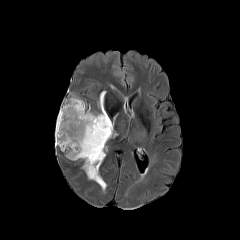
FLAIR magnetic resonance.
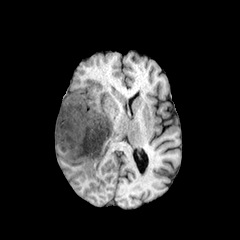
T1-weighted MR.
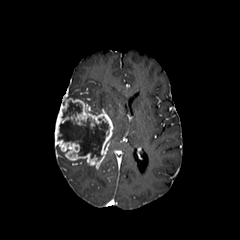
Post-contrast T1-weighted MRI.
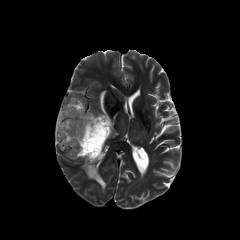
T2-weighted MR image.
Axial view; Image size 240x240
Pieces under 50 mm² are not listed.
{"peritumoral_edema": ["x1=82, y1=159, x2=106, y2=192", "x1=98, y1=91, x2=106, y2=112"], "enhancing_tumor": ["x1=55, y1=92, x2=113, y2=168"], "necrotic_tumor_core": ["x1=62, y1=101, x2=81, y2=118", "x1=58, y1=118, x2=108, y2=159"]}